FLAIR MR.
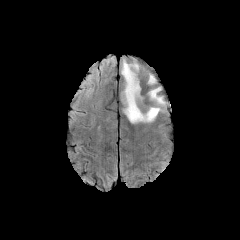
T1-weighted MRI.
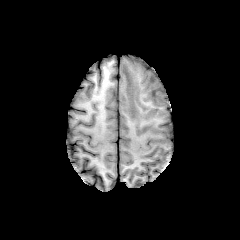
Post-contrast T1-weighted magnetic resonance.
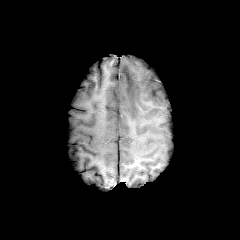
T2-weighted MR.
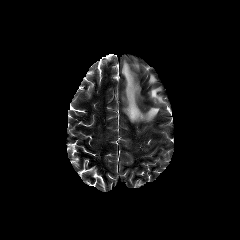
Head
2 peritumoral edema regions are located at 148,74,155,84; 121,60,166,122.